Head. Image size 240x240.
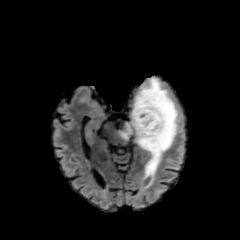
FLAIR MRI.
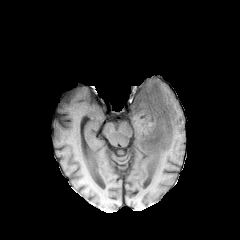
T1-weighted magnetic resonance.
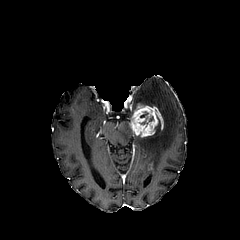
Post-contrast T1-weighted MRI.
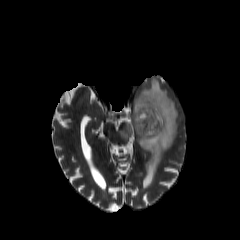
T2-weighted MR.
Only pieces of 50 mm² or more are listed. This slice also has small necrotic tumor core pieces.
2 enhancing tumor regions are located at box=[146, 163, 153, 181]; box=[129, 103, 163, 137]. The peritumoral edema appears at box=[117, 77, 178, 189].